FLAIR MR image.
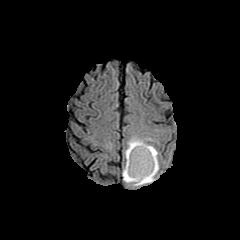
T1-weighted MR image.
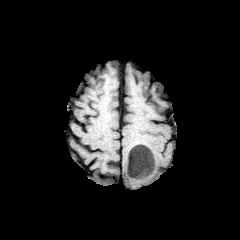
Post-contrast T1-weighted magnetic resonance.
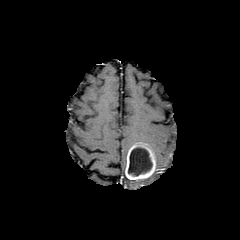
T2-weighted magnetic resonance.
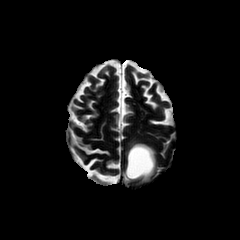
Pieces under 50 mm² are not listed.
necrotic tumor core: rect(128, 147, 152, 175)
enhancing tumor: rect(125, 142, 156, 180)
peritumoral edema: rect(125, 137, 146, 163); rect(122, 144, 158, 185)